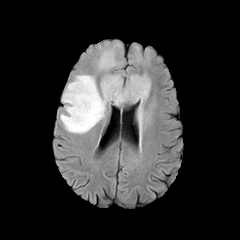
FLAIR MRI.
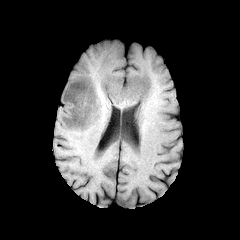
T1-weighted MR image of the same slice.
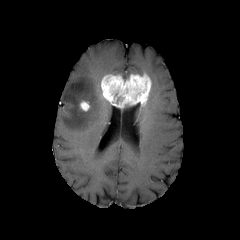
Same slice, post-contrast T1-weighted MR image.
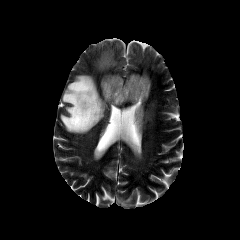
T2-weighted magnetic resonance.
Image size 240x240; Axial plane; Head
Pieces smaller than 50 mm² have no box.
peritumoral edema: (left=137, top=104, right=148, bottom=128), (left=96, top=48, right=118, bottom=70), (left=60, top=74, right=110, bottom=133)
enhancing tumor: (left=101, top=73, right=151, bottom=107), (left=79, top=100, right=90, bottom=111)